FLAIR MRI.
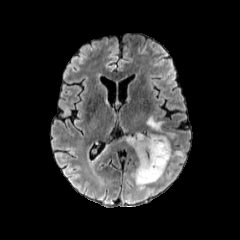
T1-weighted MR.
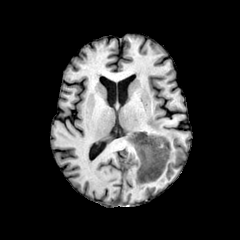
Post-contrast T1-weighted MRI.
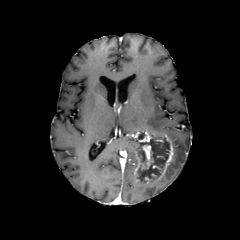
T2-weighted MR image.
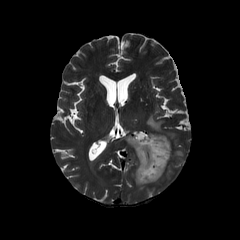
Axial plane. Brain.
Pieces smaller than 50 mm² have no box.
necrotic_tumor_core:
  - [x1=137, y1=138, x2=170, y2=181]
peritumoral_edema:
  - [x1=173, y1=150, x2=185, y2=160]
  - [x1=147, y1=116, x2=163, y2=132]
  - [x1=125, y1=136, x2=136, y2=149]
enhancing_tumor:
  - [x1=134, y1=131, x2=173, y2=184]